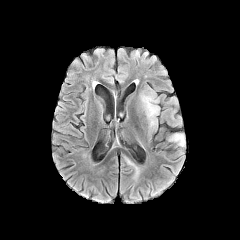
FLAIR magnetic resonance.
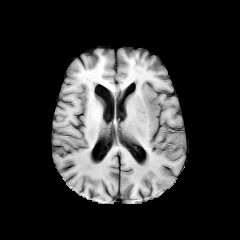
T1-weighted MRI of the same slice.
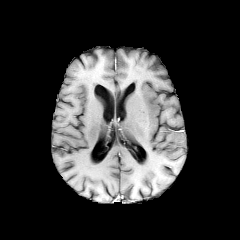
Post-contrast T1-weighted MRI of the same slice.
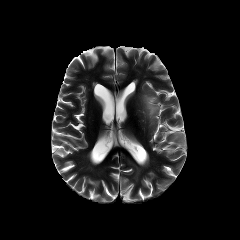
Same slice, T2-weighted magnetic resonance.
240x240 | Brain
2 peritumoral edema regions are bounded by (left=169, top=133, right=186, bottom=147), (left=140, top=93, right=160, bottom=128).